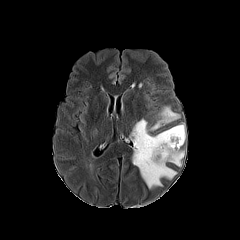
FLAIR MRI.
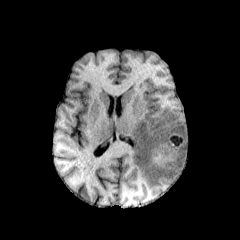
T1-weighted magnetic resonance.
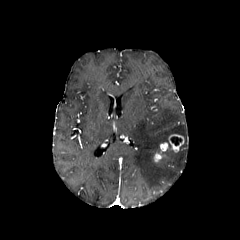
Post-contrast T1-weighted MR image of the same slice.
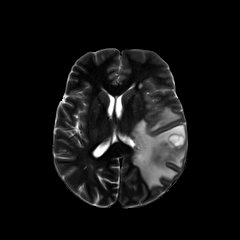
T2-weighted magnetic resonance.
Head
Annotated regions:
• necrotic tumor core: <box>170,136,181,145</box>
• enhancing tumor: <box>168,134,184,152</box>, <box>153,142,168,162</box>
• peritumoral edema: <box>130,106,186,188</box>